FLAIR MR.
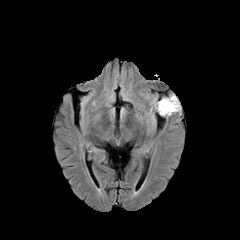
T1-weighted magnetic resonance.
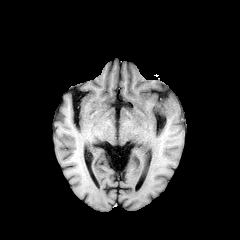
Post-contrast T1-weighted magnetic resonance.
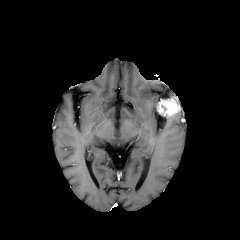
T2-weighted magnetic resonance.
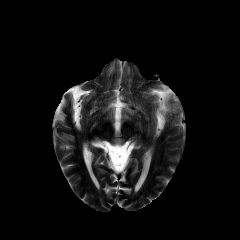
Axial plane | Head
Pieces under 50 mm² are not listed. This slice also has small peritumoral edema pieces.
enhancing_tumor:
  - {"x1": 157, "y1": 96, "x2": 180, "y2": 116}